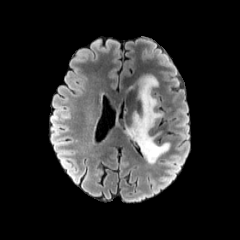
FLAIR MR.
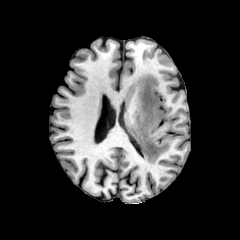
T1-weighted MR.
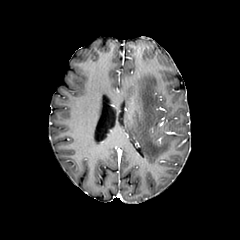
Post-contrast T1-weighted MR of the same slice.
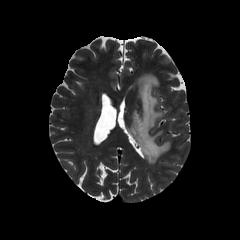
T2-weighted MR image.
Head
The peritumoral edema is located at rect(130, 74, 170, 164).